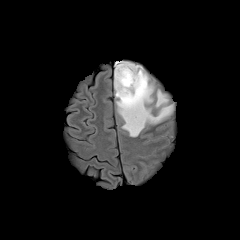
FLAIR magnetic resonance.
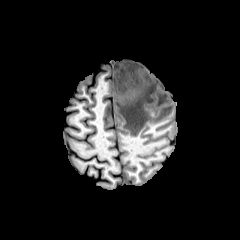
T1-weighted MR.
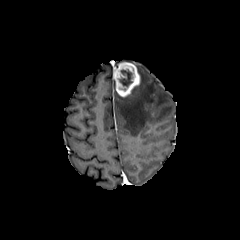
Post-contrast T1-weighted MR image.
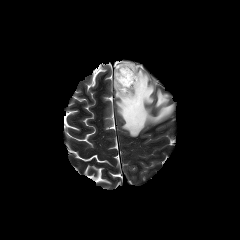
T2-weighted MRI.
Brain.
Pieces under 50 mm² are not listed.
The enhancing tumor appears at box(114, 62, 140, 96). The largest necrotic tumor core region appears at box(119, 69, 132, 87). The largest peritumoral edema region is at box(114, 65, 173, 136).